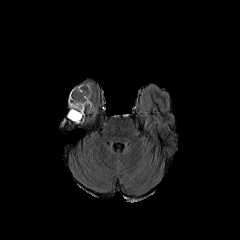
FLAIR MR.
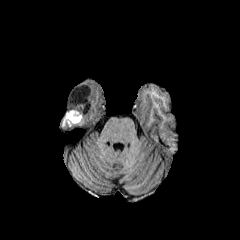
Same slice, T1-weighted MR image.
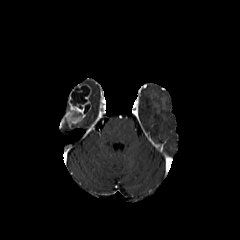
Post-contrast T1-weighted MR.
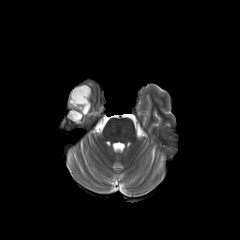
T2-weighted magnetic resonance.
Head | Axial view
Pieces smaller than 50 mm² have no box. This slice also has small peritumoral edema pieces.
The 2 largest necrotic tumor core regions are bounded by (70,85,90,109), (70,111,82,118). The largest enhancing tumor region is located at (67,88,91,123).